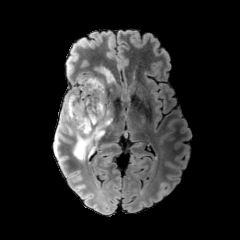
FLAIR MR.
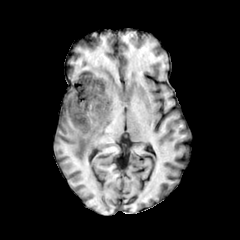
T1-weighted MR of the same slice.
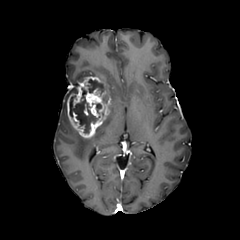
Same slice, post-contrast T1-weighted magnetic resonance.
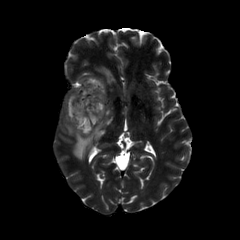
T2-weighted MRI of the same slice.
Axial plane; 240x240 px
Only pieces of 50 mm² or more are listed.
The largest peritumoral edema region is bounded by bbox(60, 67, 115, 159). The largest enhancing tumor region is bounded by bbox(67, 76, 110, 138). The 2 largest necrotic tumor core regions are bounded by bbox(69, 87, 99, 133); bbox(87, 79, 103, 92).